FLAIR MR.
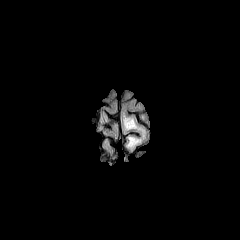
T1-weighted MR.
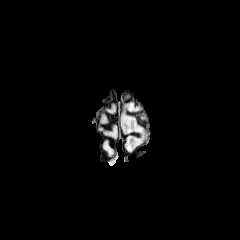
Post-contrast T1-weighted MRI.
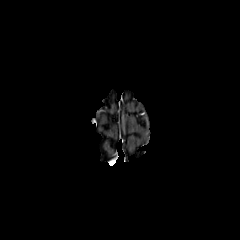
T2-weighted MR.
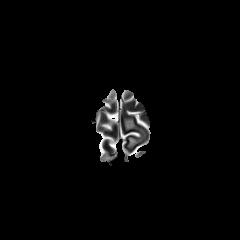
Axial view. Head.
Annotated regions:
• peritumoral edema: 127, 137, 140, 147; 124, 118, 136, 129